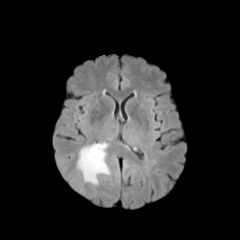
FLAIR magnetic resonance.
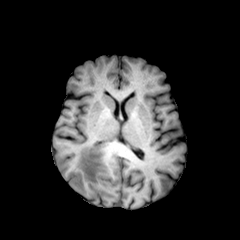
T1-weighted MR.
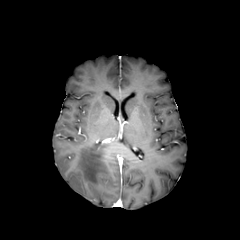
Post-contrast T1-weighted MR.
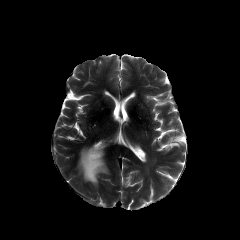
T2-weighted MR image of the same slice.
Axial plane.
The peritumoral edema is located at {"x1": 77, "y1": 143, "x2": 109, "y2": 184}.